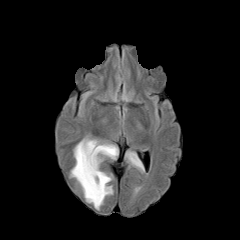
FLAIR MR image.
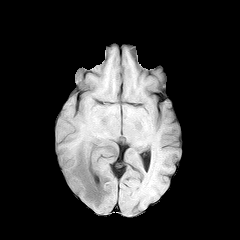
T1-weighted magnetic resonance.
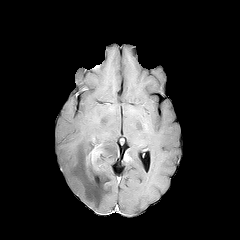
Post-contrast T1-weighted MRI.
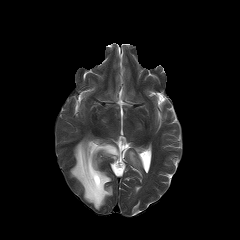
Same slice, T2-weighted magnetic resonance.
Axial view | Brain
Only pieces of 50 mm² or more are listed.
enhancing tumor = [x1=94, y1=145, x2=101, y2=171]
peritumoral edema = [x1=70, y1=138, x2=118, y2=209], [x1=126, y1=151, x2=143, y2=170]